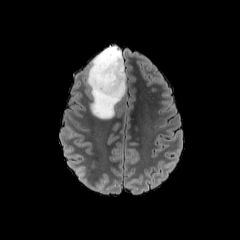
FLAIR MRI.
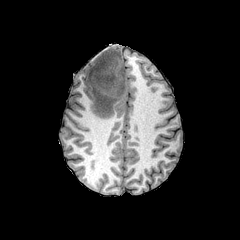
Same slice, T1-weighted MR image.
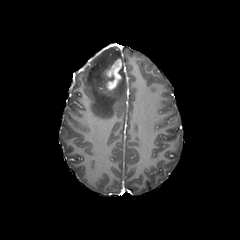
Post-contrast T1-weighted MR of the same slice.
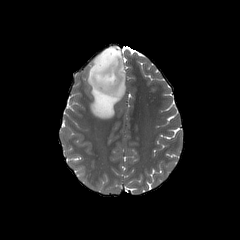
Same slice, T2-weighted MR image.
Head
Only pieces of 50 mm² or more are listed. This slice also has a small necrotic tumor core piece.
• enhancing tumor: l=103, t=59, r=122, b=90
• peritumoral edema: l=86, t=45, r=126, b=119